Axial slice.
FLAIR magnetic resonance.
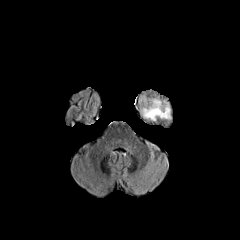
T1-weighted MR.
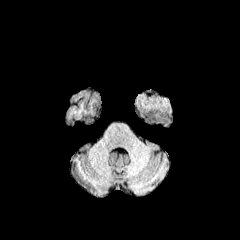
Post-contrast T1-weighted MRI.
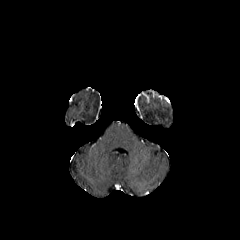
T2-weighted MRI.
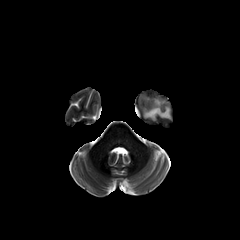
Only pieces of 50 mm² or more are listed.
The largest peritumoral edema region appears at x1=142 y1=99 x2=170 y2=120.